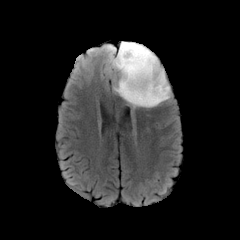
FLAIR MRI.
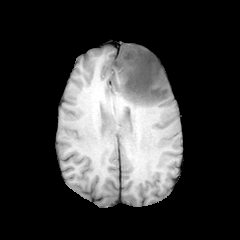
Same slice, T1-weighted MR image.
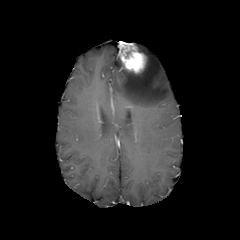
Same slice, post-contrast T1-weighted MR image.
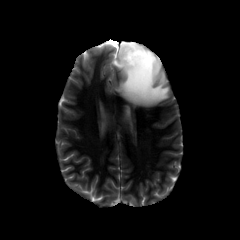
T2-weighted magnetic resonance.
The peritumoral edema is located at (left=108, top=44, right=171, bottom=107). The enhancing tumor is located at (left=118, top=41, right=146, bottom=73).